FLAIR MRI.
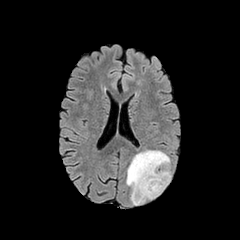
T1-weighted magnetic resonance.
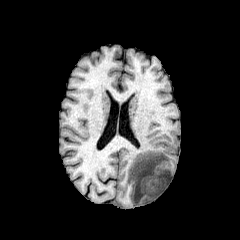
Post-contrast T1-weighted MR image.
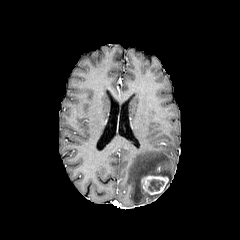
T2-weighted MR image.
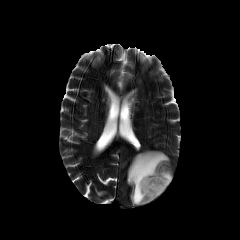
Axial plane
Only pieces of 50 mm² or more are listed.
Annotated regions:
• enhancing tumor: l=140, t=175, r=168, b=195
• necrotic tumor core: l=148, t=179, r=163, b=191
• peritumoral edema: l=126, t=150, r=171, b=205